FLAIR MR.
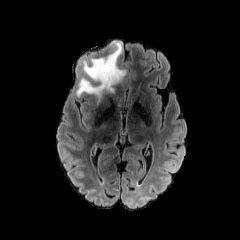
T1-weighted MR.
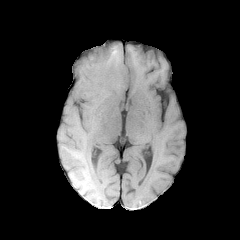
Post-contrast T1-weighted MR.
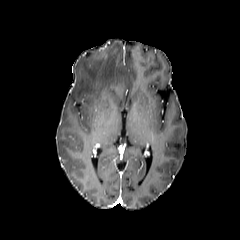
T2-weighted MRI.
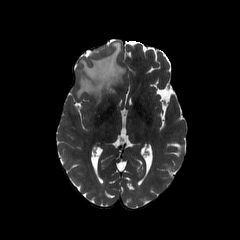
Axial slice. Head.
peritumoral edema at region(76, 42, 125, 102)